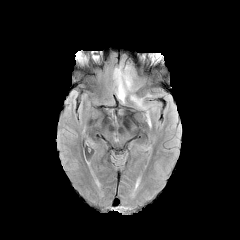
FLAIR MR.
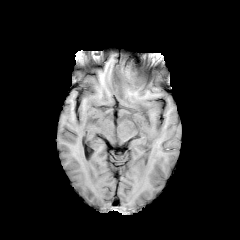
T1-weighted magnetic resonance.
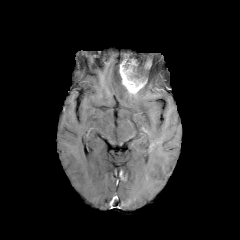
Post-contrast T1-weighted MRI.
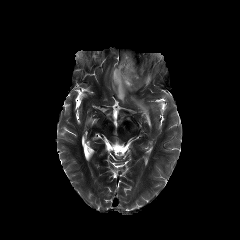
T2-weighted magnetic resonance.
240x240.
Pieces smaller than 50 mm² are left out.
enhancing_tumor:
  - left=119, top=54, right=147, bottom=94
peritumoral_edema:
  - left=112, top=67, right=128, bottom=103
  - left=130, top=76, right=161, bottom=126
necrotic_tumor_core:
  - left=127, top=55, right=150, bottom=78